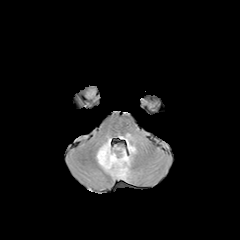
FLAIR magnetic resonance.
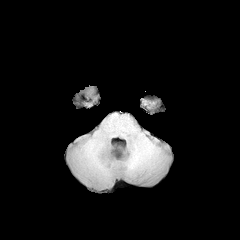
T1-weighted MR.
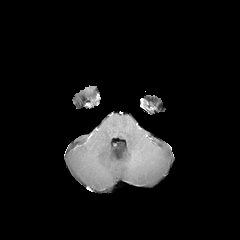
Post-contrast T1-weighted MR.
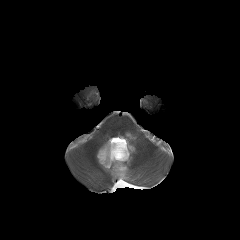
Same slice, T2-weighted MR image.
Head
{
  "peritumoral_edema": [
    "97 134 135 179"
  ]
}